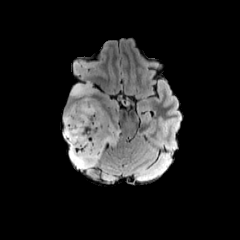
FLAIR MRI.
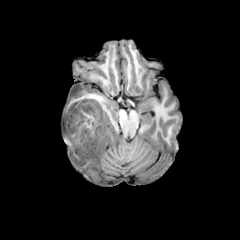
T1-weighted MR.
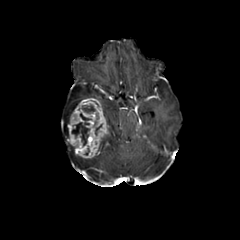
Post-contrast T1-weighted magnetic resonance.
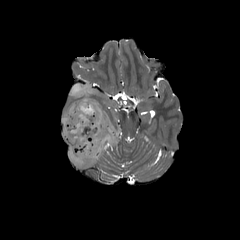
T2-weighted MR.
Axial view. Brain.
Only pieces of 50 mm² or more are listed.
enhancing tumor = (left=67, top=98, right=109, bottom=158)
peritumoral edema = (left=100, top=120, right=114, bottom=152), (left=69, top=144, right=100, bottom=168), (left=71, top=83, right=94, bottom=98), (left=64, top=102, right=78, bottom=138)
necrotic tumor core = (left=72, top=113, right=90, bottom=145), (left=83, top=106, right=94, bottom=112)